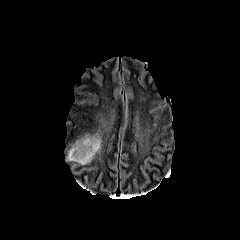
FLAIR MRI.
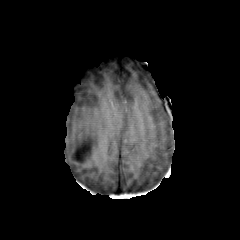
T1-weighted MR.
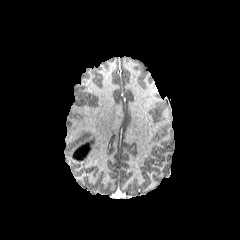
Post-contrast T1-weighted MR image of the same slice.
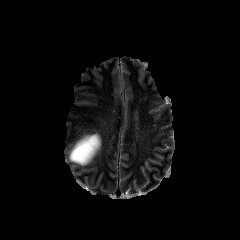
T2-weighted MR.
Image size 240x240. Axial slice.
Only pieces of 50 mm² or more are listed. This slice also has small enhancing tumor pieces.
{
  "necrotic_tumor_core": [
    "[x1=72, y1=140, x2=94, y2=161]"
  ],
  "peritumoral_edema": [
    "[x1=66, y1=132, x2=102, y2=165]"
  ]
}